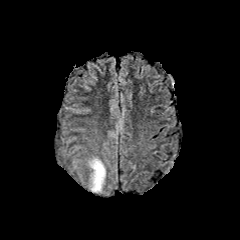
FLAIR MR image.
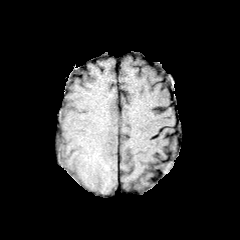
Same slice, T1-weighted magnetic resonance.
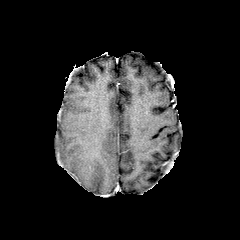
Same slice, post-contrast T1-weighted MR image.
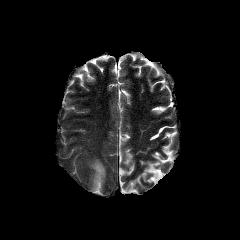
Same slice, T2-weighted MR.
peritumoral edema — bbox=[91, 159, 105, 191]